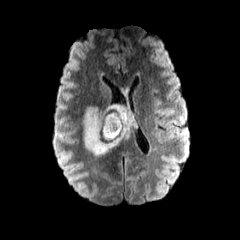
FLAIR MR image.
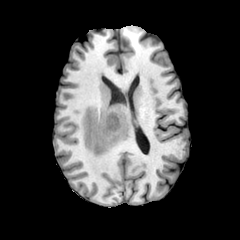
T1-weighted magnetic resonance of the same slice.
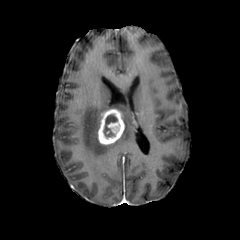
Post-contrast T1-weighted MRI.
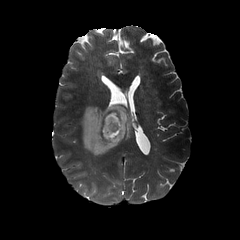
T2-weighted MR image of the same slice.
Image size 240x240. Head.
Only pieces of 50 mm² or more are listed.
Findings:
- necrotic tumor core: x1=103 y1=113 x2=118 y2=139
- enhancing tumor: x1=97 y1=109 x2=124 y2=145
- peritumoral edema: x1=83 y1=103 x2=137 y2=157